Slice index 66 | Brain
FLAIR magnetic resonance.
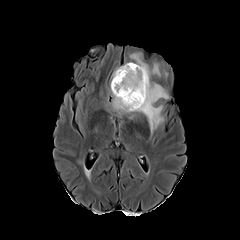
T1-weighted magnetic resonance.
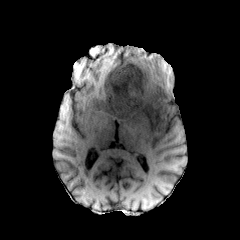
Post-contrast T1-weighted magnetic resonance.
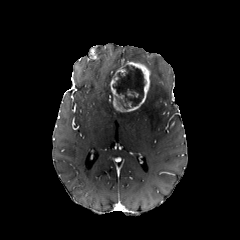
T2-weighted MRI.
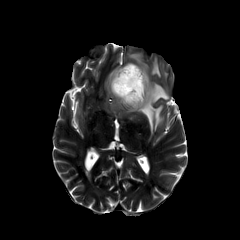
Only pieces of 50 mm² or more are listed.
necrotic tumor core at <box>113,65,144,109</box>
enhancing tumor at <box>110,62,150,112</box>
peritumoral edema at <box>117,82,168,134</box>, <box>130,53,148,68</box>, <box>151,63,160,76</box>